Brain
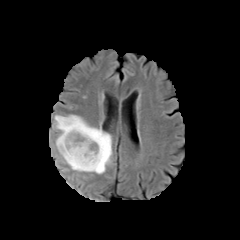
FLAIR MR.
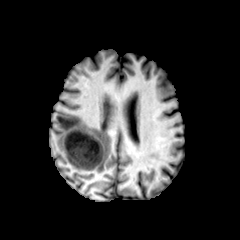
Same slice, T1-weighted MR image.
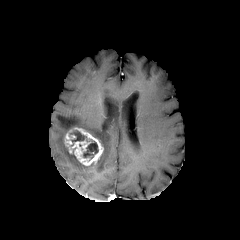
Same slice, post-contrast T1-weighted MR.
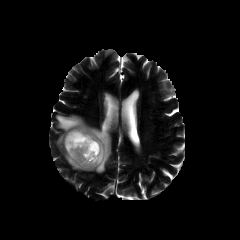
T2-weighted MRI.
peritumoral edema = rect(55, 114, 112, 173)
necrotic tumor core = rect(70, 130, 86, 141); rect(83, 141, 98, 158)
enhancing tumor = rect(64, 127, 103, 166)